Head. Slice 88/155. Axial plane.
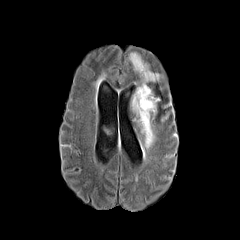
FLAIR MR.
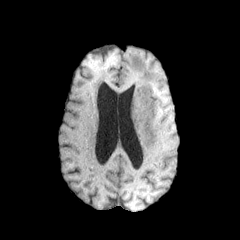
Same slice, T1-weighted magnetic resonance.
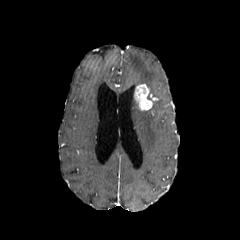
Post-contrast T1-weighted MR image of the same slice.
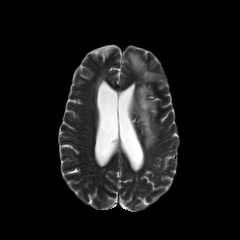
T2-weighted MRI.
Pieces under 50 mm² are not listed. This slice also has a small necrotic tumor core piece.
enhancing tumor: l=134, t=84, r=157, b=110 | peritumoral edema: l=131, t=94, r=159, b=149; l=129, t=52, r=159, b=83